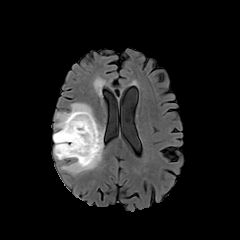
FLAIR MR.
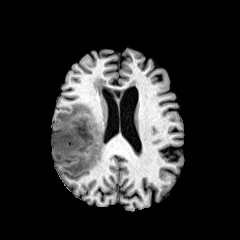
T1-weighted MRI of the same slice.
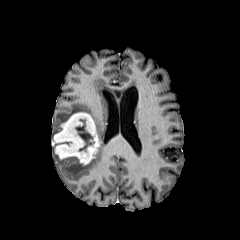
Post-contrast T1-weighted MRI.
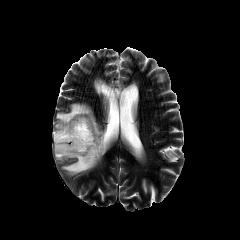
T2-weighted MR of the same slice.
Axial view; Brain
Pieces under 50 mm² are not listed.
peritumoral edema: <box>53,103,104,175</box> | enhancing tumor: <box>53,112,100,164</box> | necrotic tumor core: <box>75,119,94,151</box>